FLAIR magnetic resonance.
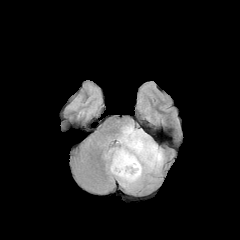
T1-weighted MR.
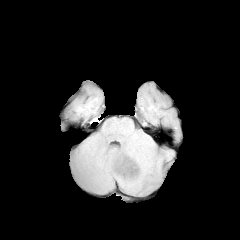
Post-contrast T1-weighted MR image.
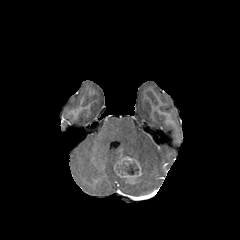
T2-weighted MR.
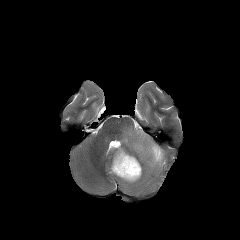
Axial slice. Head. Image size 240x240.
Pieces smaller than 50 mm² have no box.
<segmentation>
  <peritumoral_edema>[104, 124, 163, 192]</peritumoral_edema>
  <necrotic_tumor_core>[116, 162, 139, 175]</necrotic_tumor_core>
  <enhancing_tumor>[114, 152, 141, 182]</enhancing_tumor>
</segmentation>